Image width 240 mm, 1.00 mm slice spacing | Slice index 80
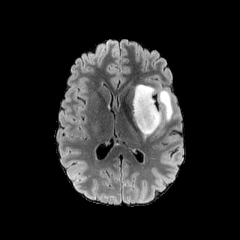
FLAIR MR image.
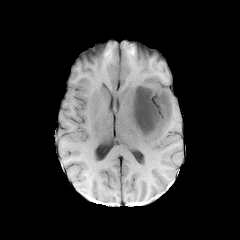
T1-weighted MRI.
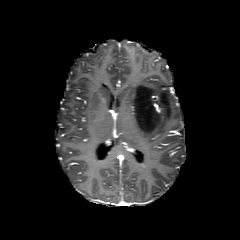
Post-contrast T1-weighted MR image.
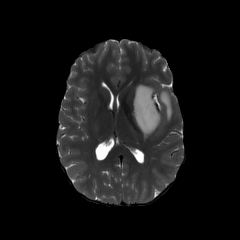
T2-weighted MR of the same slice.
The peritumoral edema lies within l=133, t=84, r=172, b=138.